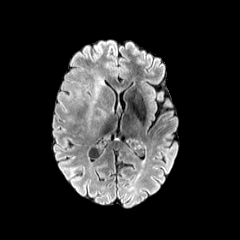
FLAIR MR image.
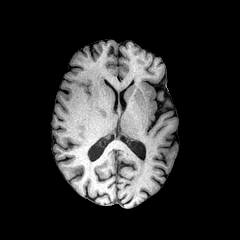
T1-weighted MR of the same slice.
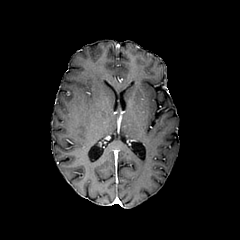
Post-contrast T1-weighted MRI.
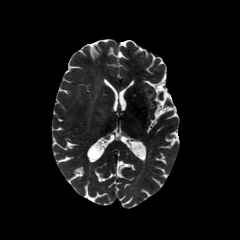
T2-weighted MR image.
240x240 px | Brain
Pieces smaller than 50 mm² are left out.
peritumoral edema: (88,78,108,127)